FLAIR MRI.
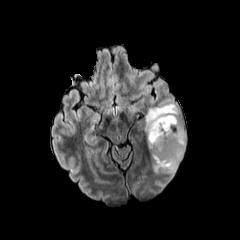
T1-weighted magnetic resonance.
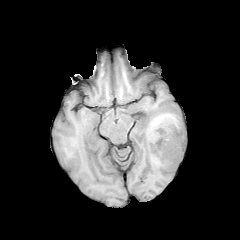
Post-contrast T1-weighted MR.
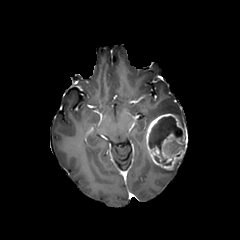
T2-weighted MR.
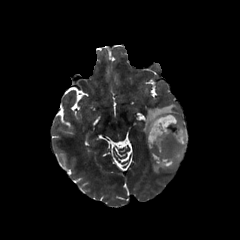
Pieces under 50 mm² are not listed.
necrotic tumor core = box(149, 116, 182, 158); box(154, 156, 171, 165)
enhancing tumor = box(145, 113, 187, 170)
peritumoral edema = box(153, 159, 181, 174); box(144, 103, 183, 131)